Image size 240x240, Brain, Axial view
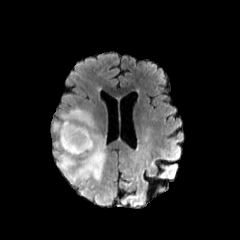
FLAIR MRI.
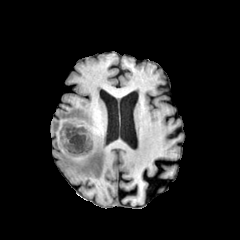
T1-weighted MR image.
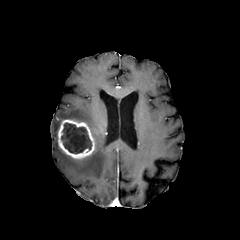
Post-contrast T1-weighted MR.
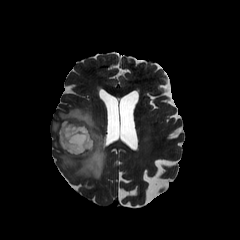
T2-weighted MRI of the same slice.
<segmentation>
  <enhancing_tumor>rect(57, 119, 95, 159)</enhancing_tumor>
  <peritumoral_edema>rect(52, 107, 106, 202)</peritumoral_edema>
  <necrotic_tumor_core>rect(61, 122, 91, 153)</necrotic_tumor_core>
</segmentation>